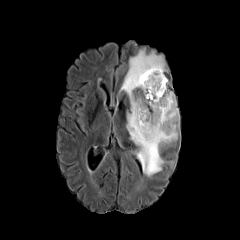
FLAIR MRI.
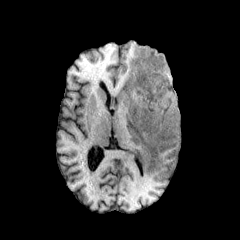
Same slice, T1-weighted MRI.
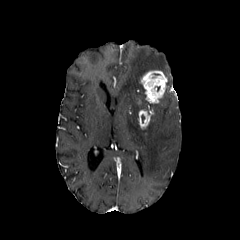
Same slice, post-contrast T1-weighted magnetic resonance.
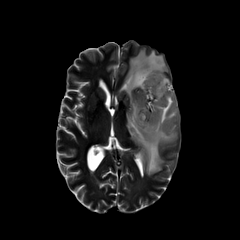
Same slice, T2-weighted magnetic resonance.
Image size 240x240.
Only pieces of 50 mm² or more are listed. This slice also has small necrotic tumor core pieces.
enhancing tumor — x1=138, y1=109, x2=151, y2=129; x1=140, y1=70, x2=167, y2=103
peritumoral edema — x1=120, y1=48, x2=179, y2=176